Brain. Slice 70/155.
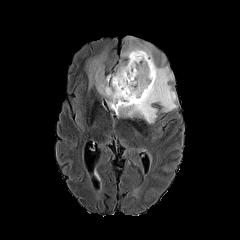
FLAIR MR image.
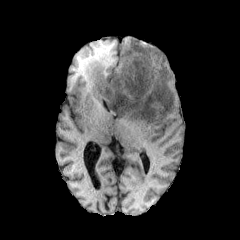
T1-weighted magnetic resonance of the same slice.
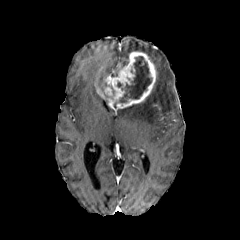
Post-contrast T1-weighted MR of the same slice.
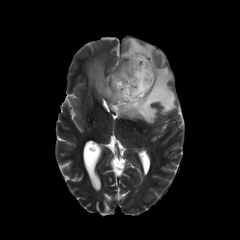
T2-weighted magnetic resonance of the same slice.
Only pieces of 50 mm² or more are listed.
<segmentation>
  <enhancing_tumor>[95,51,156,112]</enhancing_tumor>
  <peritumoral_edema>[117,36,177,123], [83,48,107,92], [111,62,124,76]</peritumoral_edema>
  <necrotic_tumor_core>[119,56,152,102]</necrotic_tumor_core>
</segmentation>